Head. 240x240. Slice 44/155. Axial plane.
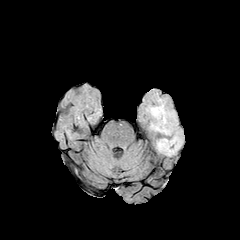
FLAIR MR.
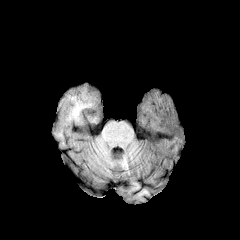
T1-weighted MR.
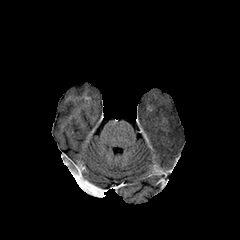
Post-contrast T1-weighted MR.
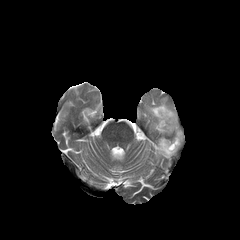
Same slice, T2-weighted MR image.
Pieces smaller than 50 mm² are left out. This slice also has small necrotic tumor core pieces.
<segmentation>
  <peritumoral_edema>bbox=[146, 98, 182, 155]</peritumoral_edema>
  <enhancing_tumor>bbox=[160, 117, 168, 130]</enhancing_tumor>
</segmentation>